Slice index 95 | Image size 240x240 | Head
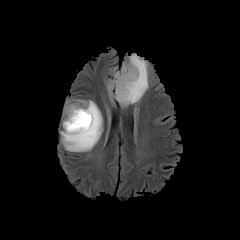
FLAIR MR image.
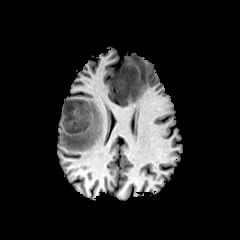
T1-weighted MR image.
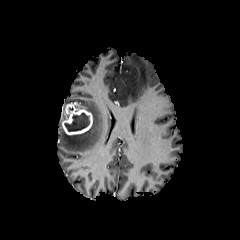
Post-contrast T1-weighted magnetic resonance of the same slice.
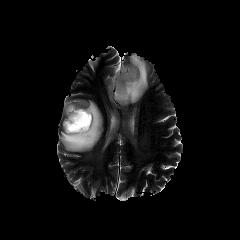
T2-weighted MR image.
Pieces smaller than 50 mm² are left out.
• necrotic tumor core: l=64, t=113, r=89, b=131
• enhancing tumor: l=62, t=102, r=92, b=134
• peritumoral edema: l=60, t=99, r=103, b=152; l=107, t=53, r=148, b=106